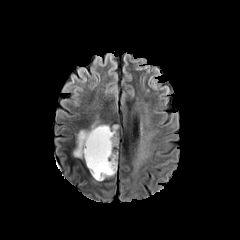
FLAIR magnetic resonance.
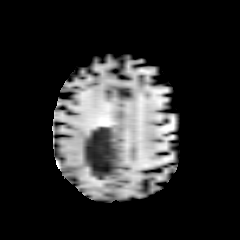
Same slice, T1-weighted MRI.
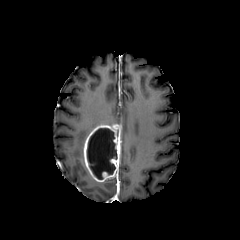
Post-contrast T1-weighted MR of the same slice.
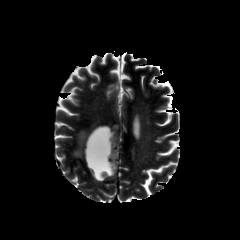
T2-weighted MRI.
Axial plane; Head
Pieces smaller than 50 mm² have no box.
The enhancing tumor is located at (left=83, top=124, right=120, bottom=182). The necrotic tumor core is located at (left=87, top=128, right=117, bottom=179). The largest peritumoral edema region is at (left=73, top=130, right=90, bottom=157).